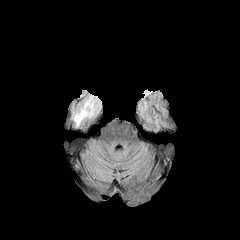
FLAIR MRI.
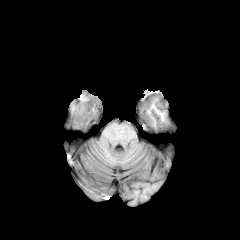
Same slice, T1-weighted MRI.
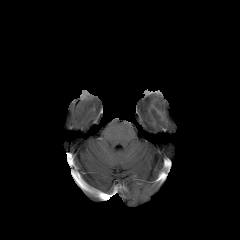
Same slice, post-contrast T1-weighted MR image.
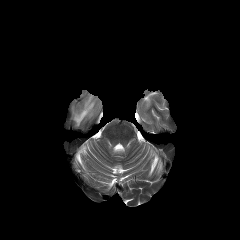
T2-weighted MR image.
240x240 | Head
peritumoral edema: <box>72,93,100,126</box>